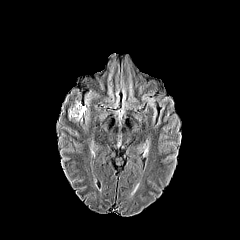
FLAIR MRI.
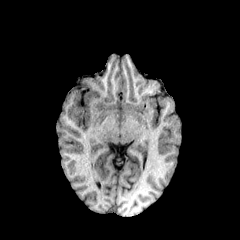
Same slice, T1-weighted magnetic resonance.
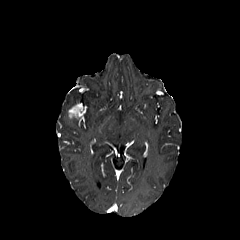
Post-contrast T1-weighted magnetic resonance.
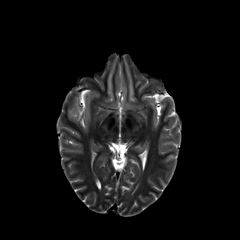
T2-weighted MR.
Axial slice | Brain
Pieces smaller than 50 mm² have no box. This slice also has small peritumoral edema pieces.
enhancing tumor = 68,103,86,120